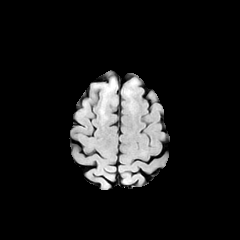
FLAIR MR.
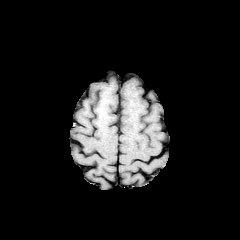
Same slice, T1-weighted MR image.
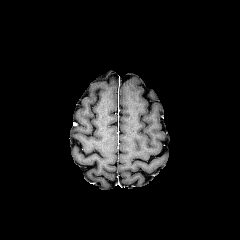
Post-contrast T1-weighted MRI of the same slice.
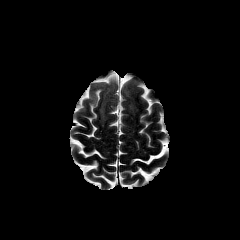
Same slice, T2-weighted MRI.
Axial slice
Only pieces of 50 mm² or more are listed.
The 3 largest peritumoral edema regions appear at (x1=123, y1=88, x2=134, y2=97), (x1=130, y1=79, x2=137, y2=87), (x1=100, y1=77, x2=116, y2=119).